FLAIR MRI.
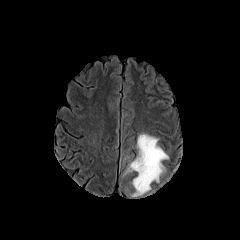
T1-weighted MR.
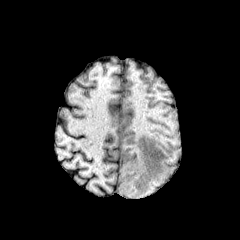
Post-contrast T1-weighted MR image.
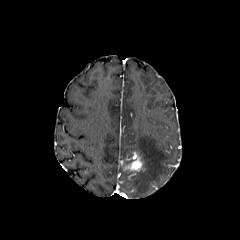
T2-weighted MR image.
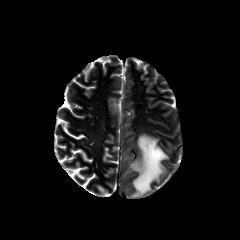
Axial view. Brain.
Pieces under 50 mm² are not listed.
Findings:
• peritumoral edema: (x1=131, y1=133, x2=168, y2=196)
• enhancing tumor: (x1=125, y1=153, x2=144, y2=171)